FLAIR MR.
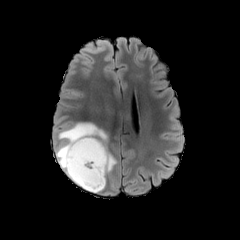
T1-weighted MRI.
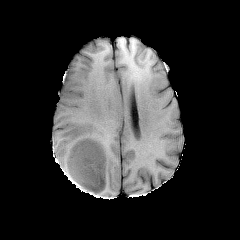
Post-contrast T1-weighted MRI.
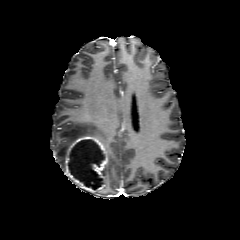
T2-weighted MR.
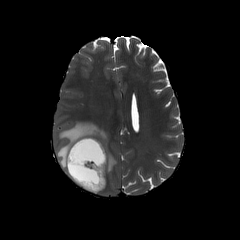
Axial view; 240x240
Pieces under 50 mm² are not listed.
{"enhancing_tumor": ["rect(62, 136, 107, 193)"], "peritumoral_edema": ["rect(55, 122, 116, 183)"], "necrotic_tumor_core": ["rect(68, 139, 105, 189)"]}